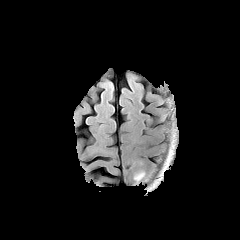
FLAIR MR image.
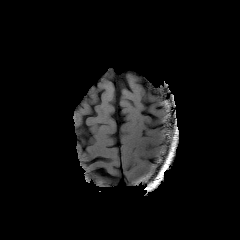
Same slice, T1-weighted magnetic resonance.
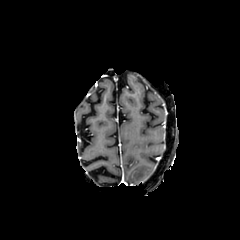
Post-contrast T1-weighted magnetic resonance.
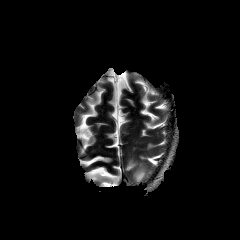
T2-weighted MR of the same slice.
Axial view, Head
Annotated regions:
• peritumoral edema: {"x1": 134, "y1": 170, "x2": 144, "y2": 181}